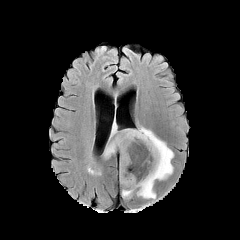
FLAIR MRI.
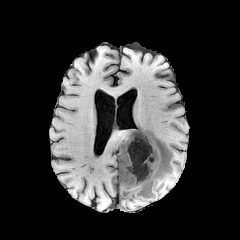
T1-weighted MR image.
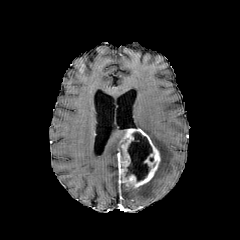
Post-contrast T1-weighted MRI.
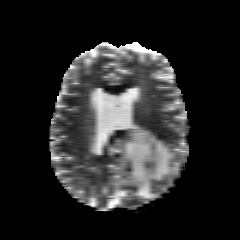
T2-weighted magnetic resonance.
Axial plane
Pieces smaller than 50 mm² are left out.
enhancing tumor: [119, 128, 160, 187]
peritumoral edema: [121, 187, 135, 198], [104, 137, 122, 156], [111, 124, 116, 136], [136, 126, 173, 199]
necrotic tumor core: [125, 132, 152, 181]